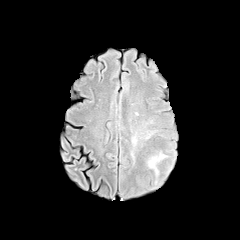
FLAIR MRI.
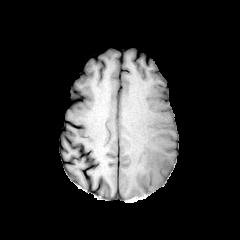
T1-weighted magnetic resonance of the same slice.
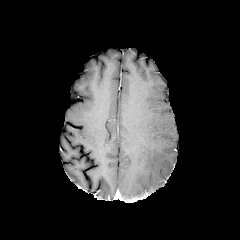
Post-contrast T1-weighted magnetic resonance of the same slice.
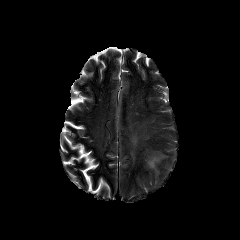
Same slice, T2-weighted magnetic resonance.
Head.
2 peritumoral edema regions are bounded by [131,135,138,162], [147,152,166,175].